Axial view
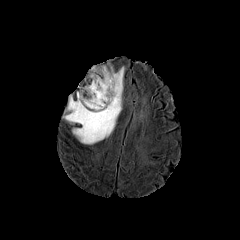
FLAIR magnetic resonance.
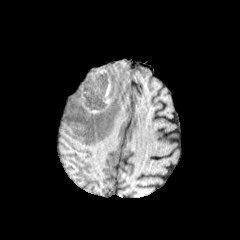
T1-weighted MR image of the same slice.
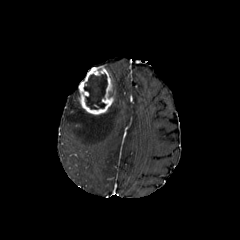
Same slice, post-contrast T1-weighted MR.
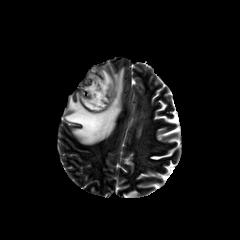
T2-weighted magnetic resonance.
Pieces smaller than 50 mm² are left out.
peritumoral edema — x1=64 y1=66 x2=124 y2=144
enhancing tumor — x1=78 y1=65 x2=114 y2=114
necrotic tumor core — x1=84 y1=74 x2=107 y2=109